FLAIR magnetic resonance.
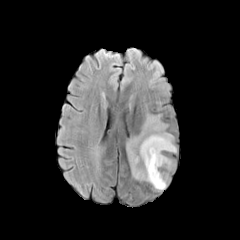
T1-weighted magnetic resonance.
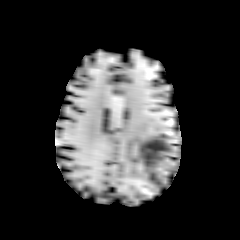
Post-contrast T1-weighted MR image.
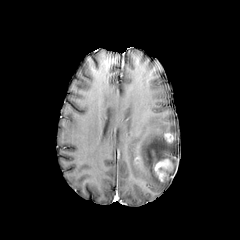
T2-weighted MRI.
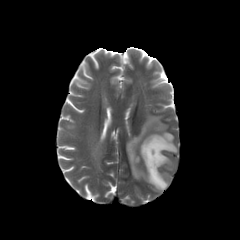
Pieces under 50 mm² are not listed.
<segmentation>
  <enhancing_tumor>(154, 158, 172, 181), (164, 133, 173, 142)</enhancing_tumor>
  <peritumoral_edema>(126, 115, 177, 190)</peritumoral_edema>
</segmentation>